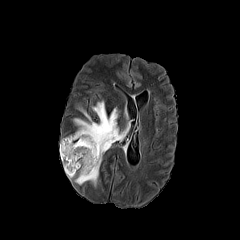
FLAIR magnetic resonance.
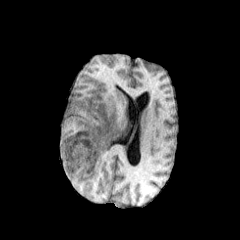
Same slice, T1-weighted magnetic resonance.
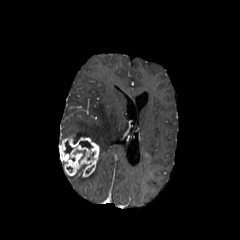
Post-contrast T1-weighted MRI.
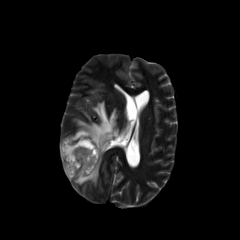
T2-weighted MR image of the same slice.
Head
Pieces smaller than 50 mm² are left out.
peritumoral edema: <box>71,101,130,184</box>
enhancing tumor: <box>59,136,99,177</box>
necrotic tumor core: <box>79,141,92,148</box>, <box>65,141,72,153</box>